FLAIR magnetic resonance.
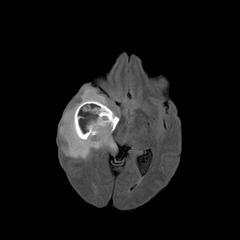
T1-weighted MRI.
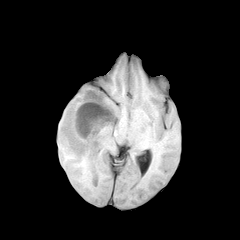
Post-contrast T1-weighted MR image.
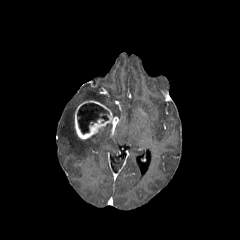
T2-weighted magnetic resonance.
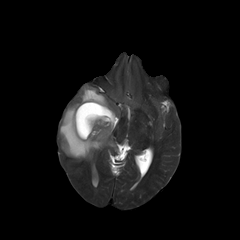
240x240. Axial view. Head.
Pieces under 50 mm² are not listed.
Findings:
• peritumoral edema: bbox(59, 86, 116, 159)
• enhancing tumor: bbox(74, 100, 118, 139)
• necrotic tumor core: bbox(77, 103, 108, 134)